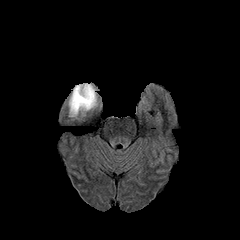
FLAIR MR image.
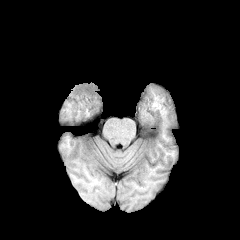
T1-weighted MR of the same slice.
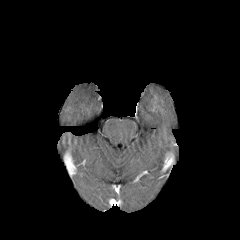
Post-contrast T1-weighted magnetic resonance of the same slice.
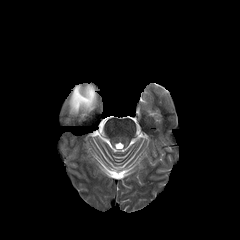
T2-weighted MRI of the same slice.
240x240 px
peritumoral_edema:
  - bbox=[69, 84, 96, 116]